Image size 240x240. Image covers 240 mm x 240 mm.
FLAIR MR image.
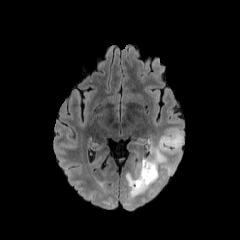
T1-weighted MR image.
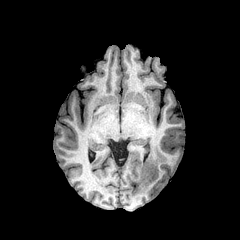
Post-contrast T1-weighted MR image.
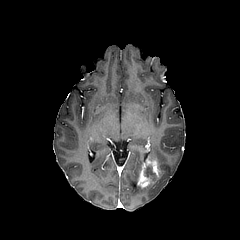
T2-weighted MR image.
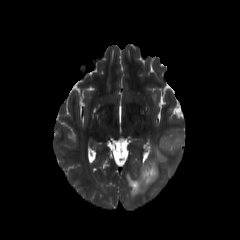
peritumoral edema — region(126, 128, 183, 198)
necrotic tumor core — region(144, 165, 155, 178)
enhancing tumor — region(137, 158, 159, 187)